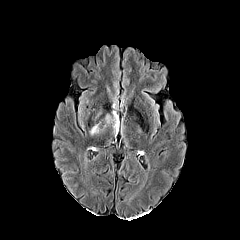
FLAIR MR image.
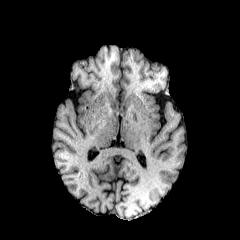
T1-weighted MRI of the same slice.
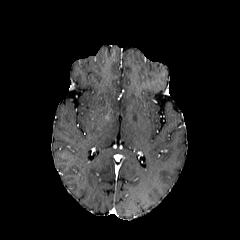
Post-contrast T1-weighted MR image.
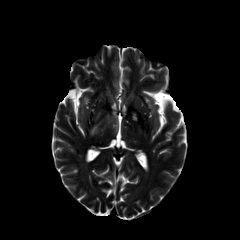
T2-weighted magnetic resonance.
Head
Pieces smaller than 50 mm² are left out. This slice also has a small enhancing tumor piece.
Findings:
* peritumoral edema: x1=105 y1=111 x2=118 y2=135, x1=90 y1=122 x2=106 y2=135